Head | Image width 240 mm, 1.00 mm slice spacing | 240x240 px | Slice 80 of 155
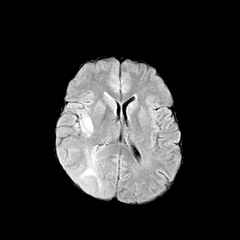
FLAIR MRI.
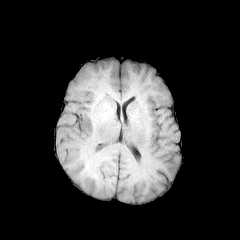
T1-weighted MR image.
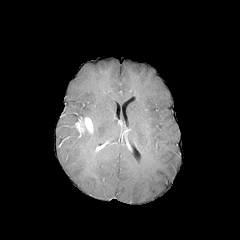
Post-contrast T1-weighted magnetic resonance.
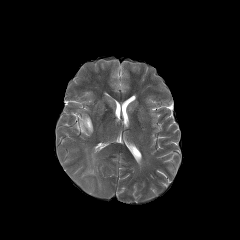
T2-weighted magnetic resonance.
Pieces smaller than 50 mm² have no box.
The enhancing tumor is bounded by rect(75, 117, 93, 133). The 2 largest peritumoral edema regions are located at rect(79, 147, 101, 190); rect(79, 111, 89, 118).